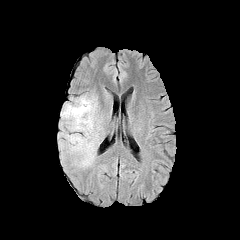
FLAIR MR.
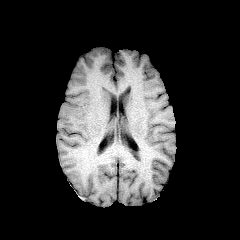
T1-weighted MR image of the same slice.
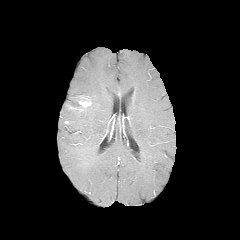
Post-contrast T1-weighted MR of the same slice.
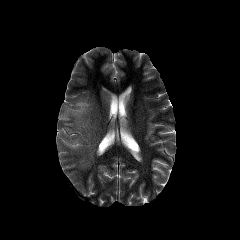
T2-weighted magnetic resonance of the same slice.
Axial plane
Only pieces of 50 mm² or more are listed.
The largest peritumoral edema region is at 60,95,97,168.